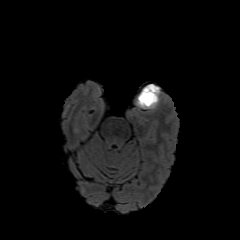
FLAIR MR image.
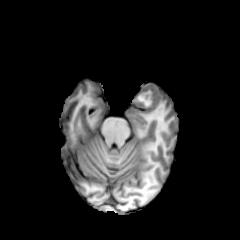
T1-weighted MR of the same slice.
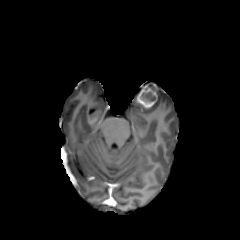
Post-contrast T1-weighted MRI.
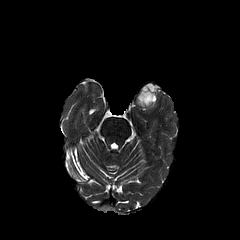
T2-weighted MR.
Head.
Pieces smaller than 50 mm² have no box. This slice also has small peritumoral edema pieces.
<segmentation>
  <enhancing_tumor>bbox=[137, 83, 158, 108]</enhancing_tumor>
  <necrotic_tumor_core>bbox=[140, 88, 155, 102]</necrotic_tumor_core>
</segmentation>